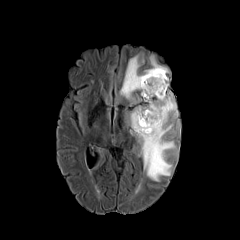
FLAIR MR.
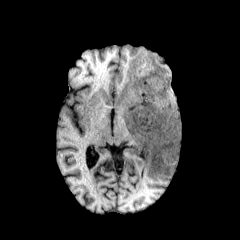
T1-weighted magnetic resonance of the same slice.
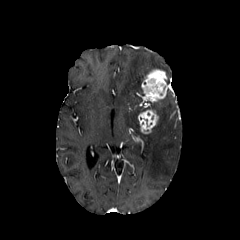
Post-contrast T1-weighted MR of the same slice.
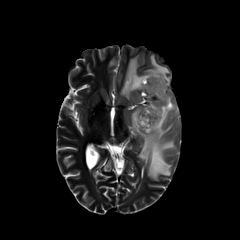
T2-weighted MR image.
240x240. Axial slice.
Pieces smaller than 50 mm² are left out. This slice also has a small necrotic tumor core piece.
Annotated regions:
- enhancing tumor: bbox=[141, 69, 168, 102]; bbox=[138, 106, 159, 133]
- peritumoral edema: bbox=[120, 55, 169, 103]; bbox=[130, 90, 177, 181]